FLAIR MR image.
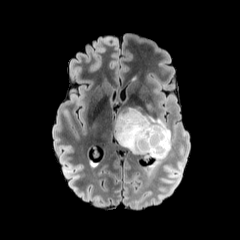
T1-weighted MRI.
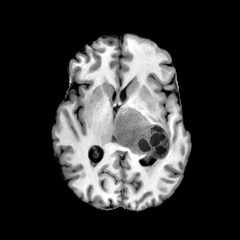
Post-contrast T1-weighted MRI.
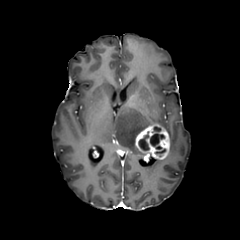
T2-weighted MR.
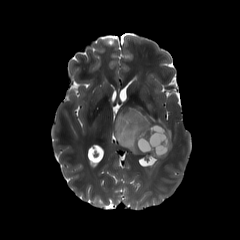
Head; 240x240
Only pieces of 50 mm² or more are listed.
Annotated regions:
- enhancing tumor: x1=135, y1=124, x2=169, y2=159
- necrotic tumor core: x1=138, y1=131, x2=149, y2=150; x1=150, y1=133, x2=164, y2=149
- peritumoral edema: x1=115, y1=108, x2=172, y2=154